240x240; Slice 96/155
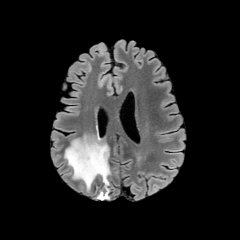
FLAIR MR.
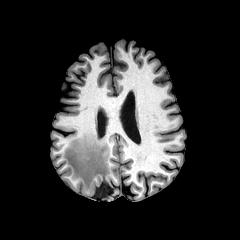
Same slice, T1-weighted MR.
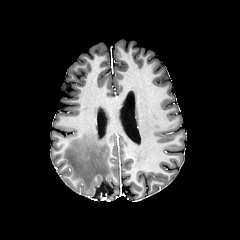
Same slice, post-contrast T1-weighted MR.
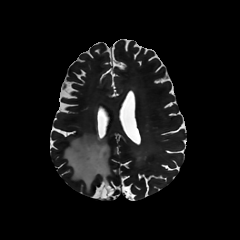
Same slice, T2-weighted MR image.
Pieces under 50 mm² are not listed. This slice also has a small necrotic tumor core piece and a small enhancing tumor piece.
The peritumoral edema lies within x1=63 y1=135 x2=111 y2=198.